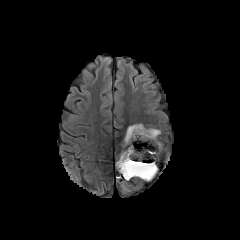
FLAIR MRI.
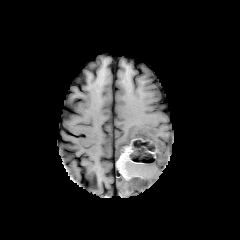
T1-weighted MR of the same slice.
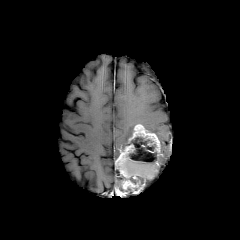
Post-contrast T1-weighted magnetic resonance of the same slice.
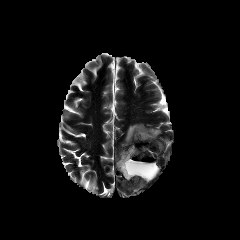
Same slice, T2-weighted MR image.
Brain. 240x240.
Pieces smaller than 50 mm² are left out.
enhancing tumor = rect(116, 144, 142, 189); rect(128, 124, 160, 156)
necrotic tumor core = rect(124, 137, 157, 184)
peritumoral edema = rect(145, 128, 161, 136); rect(123, 124, 136, 146)